FLAIR magnetic resonance.
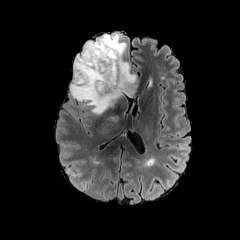
T1-weighted MRI.
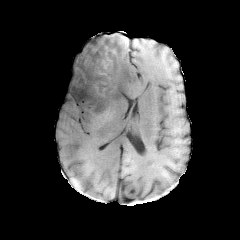
Post-contrast T1-weighted magnetic resonance.
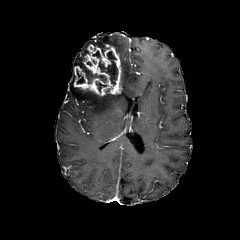
T2-weighted magnetic resonance.
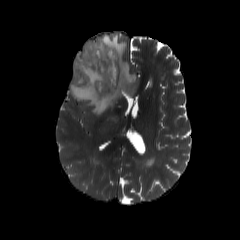
Axial view.
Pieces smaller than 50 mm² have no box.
The 2 largest necrotic tumor core regions are bounded by (left=99, top=51, right=117, bottom=84), (left=82, top=66, right=106, bottom=83). The enhancing tumor appears at (left=73, top=43, right=122, bottom=96). The peritumoral edema is located at (left=70, top=33, right=136, bottom=114).